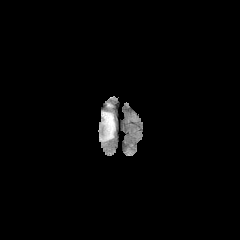
FLAIR magnetic resonance.
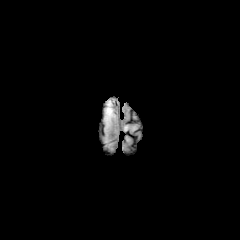
T1-weighted magnetic resonance.
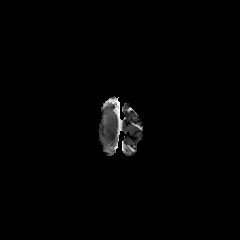
Post-contrast T1-weighted MR.
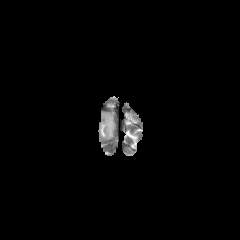
T2-weighted MR.
240x240 px | Brain
peritumoral edema: bounding box bbox(104, 112, 114, 140)